Slice 62 of 155; Image size 240x240; Axial slice; Head
FLAIR MR image.
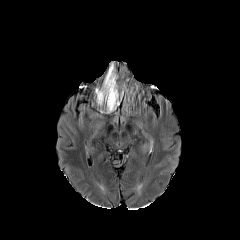
T1-weighted MRI.
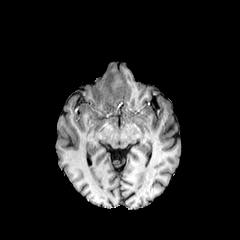
Post-contrast T1-weighted MR image.
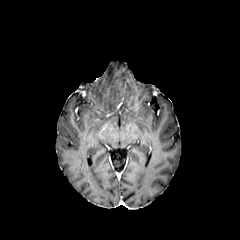
T2-weighted MR image.
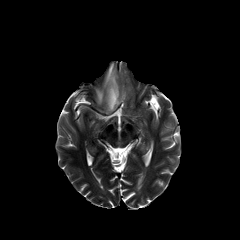
peritumoral_edema:
  - l=95, t=63, r=123, b=112